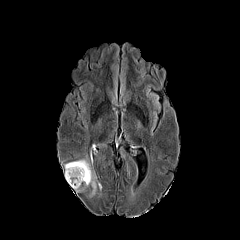
FLAIR MR image.
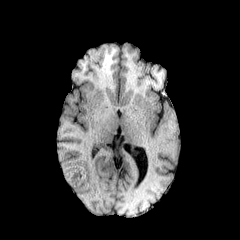
T1-weighted magnetic resonance.
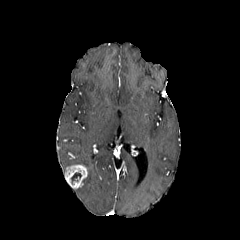
Post-contrast T1-weighted magnetic resonance.
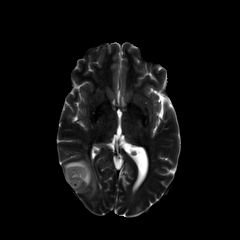
T2-weighted MR.
Axial plane
The enhancing tumor lies within x1=64, y1=164, x2=87, y2=188. The necrotic tumor core is located at x1=71, y1=172, x2=81, y2=183. The peritumoral edema appears at x1=64, y1=159, x2=101, y2=196.